FLAIR MR image.
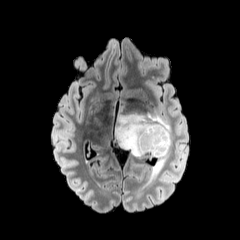
T1-weighted MR.
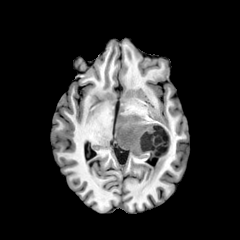
Post-contrast T1-weighted MR image.
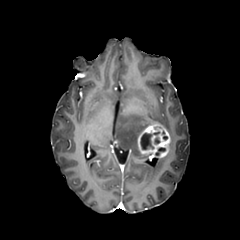
T2-weighted magnetic resonance.
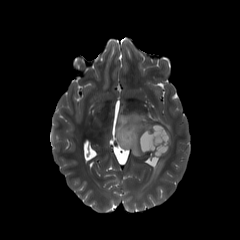
Head
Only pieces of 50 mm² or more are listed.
• necrotic tumor core: box(155, 147, 165, 155); box(140, 131, 159, 149)
• peritumoral edema: box(145, 152, 168, 186); box(115, 113, 172, 156)
• enhancing tumor: box(137, 124, 170, 157)